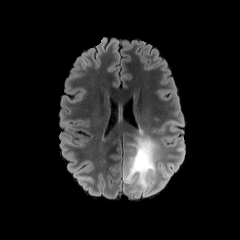
FLAIR MR image.
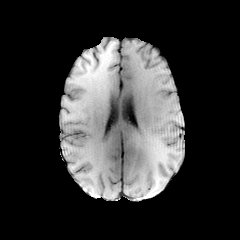
T1-weighted MR.
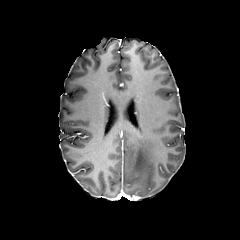
Post-contrast T1-weighted MR.
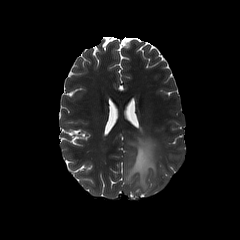
T2-weighted magnetic resonance.
Axial plane; Image size 240x240; Head
peritumoral edema: box(123, 135, 169, 193)